Image covers 240 mm x 240 mm; Head
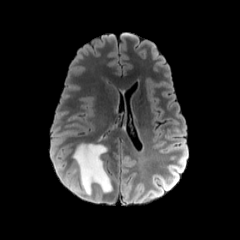
FLAIR MRI.
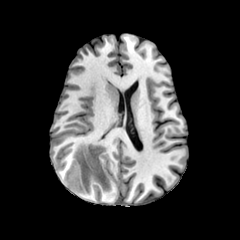
Same slice, T1-weighted MR image.
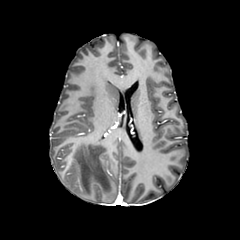
Post-contrast T1-weighted MR image of the same slice.
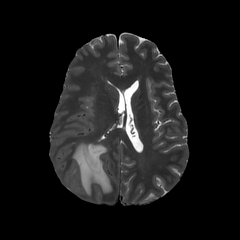
T2-weighted magnetic resonance.
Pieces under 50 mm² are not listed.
The largest peritumoral edema region lies within <bbox>73, 144, 111, 194</bbox>.